Slice index 74 | Image covers 240 mm x 240 mm | 240x240 px
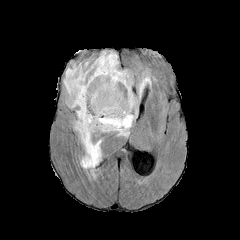
FLAIR magnetic resonance.
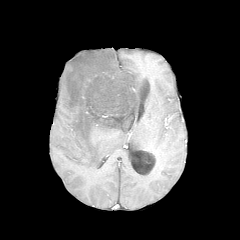
Same slice, T1-weighted magnetic resonance.
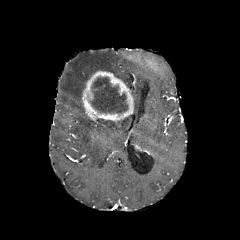
Post-contrast T1-weighted MRI of the same slice.
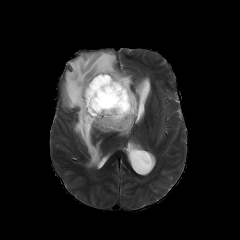
T2-weighted MR.
The enhancing tumor lies within box=[82, 70, 134, 122]. The necrotic tumor core is bounded by box=[91, 77, 128, 113]. The peritumoral edema is at box=[63, 51, 149, 168].